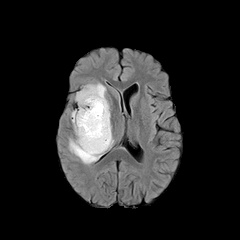
FLAIR MRI.
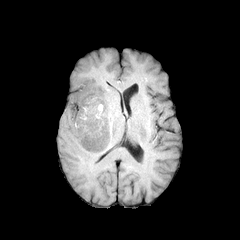
T1-weighted MR.
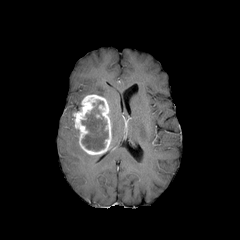
Post-contrast T1-weighted MRI.
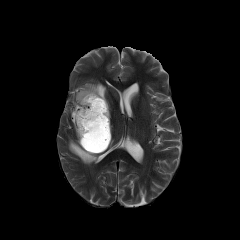
T2-weighted MR of the same slice.
Image size 240x240, Axial plane
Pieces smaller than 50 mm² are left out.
Annotated regions:
- enhancing tumor: (left=72, top=94, right=111, bottom=155)
- peritumoral edema: (left=75, top=82, right=106, bottom=107), (left=69, top=127, right=100, bottom=164)
- necrotic tumor core: (left=82, top=101, right=108, bottom=151)